FLAIR MR.
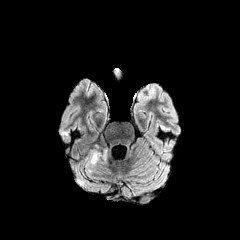
T1-weighted magnetic resonance.
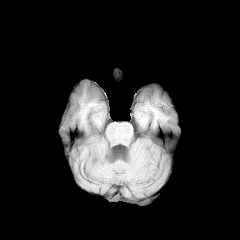
Post-contrast T1-weighted magnetic resonance.
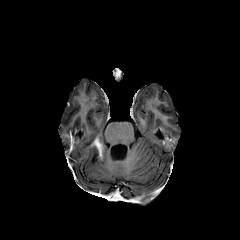
T2-weighted MR image.
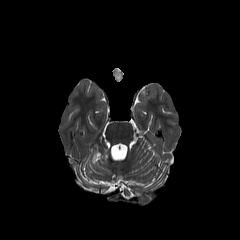
240x240; Brain
peritumoral edema: <box>91,147,108,163</box> | enhancing tumor: <box>96,142,103,158</box>